FLAIR MR image.
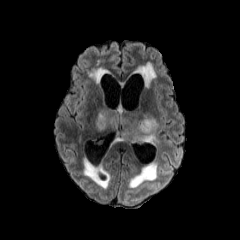
T1-weighted magnetic resonance.
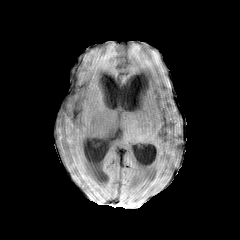
Post-contrast T1-weighted MRI.
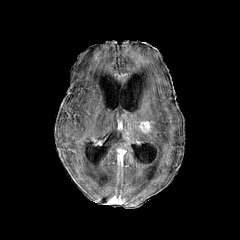
T2-weighted MR image.
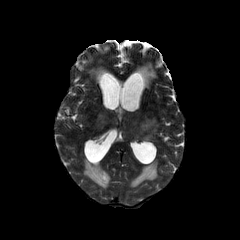
Brain | Axial view | 240x240 px
enhancing tumor: [136, 120, 150, 134]
peritumoral edema: [96, 106, 158, 143]